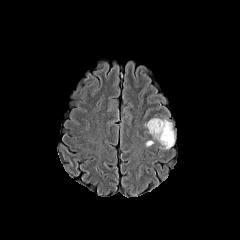
FLAIR magnetic resonance.
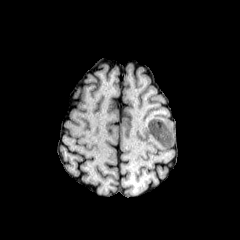
T1-weighted MR.
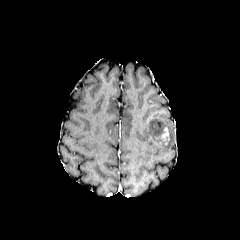
Same slice, post-contrast T1-weighted MR image.
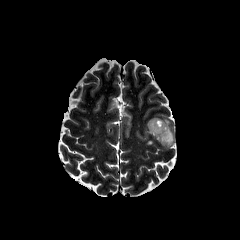
T2-weighted magnetic resonance of the same slice.
Brain.
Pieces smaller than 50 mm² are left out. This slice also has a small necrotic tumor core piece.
peritumoral edema: x1=145, y1=118, x2=174, y2=148
enhancing tumor: x1=160, y1=127, x2=169, y2=144